240x240
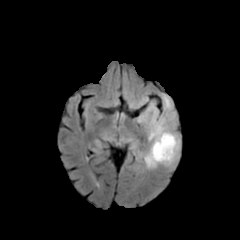
FLAIR MR.
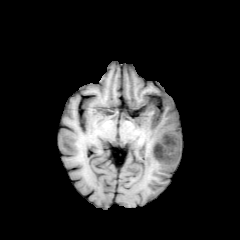
T1-weighted magnetic resonance of the same slice.
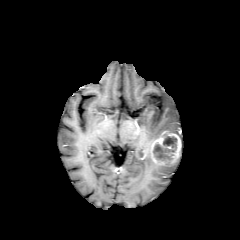
Post-contrast T1-weighted MR image of the same slice.
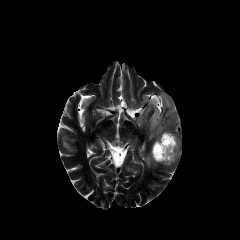
T2-weighted MR.
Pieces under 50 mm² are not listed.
{
  "necrotic_tumor_core": [
    "x1=153 y1=136 x2=176 y2=160"
  ],
  "peritumoral_edema": [
    "x1=131 y1=92 x2=180 y2=169"
  ],
  "enhancing_tumor": [
    "x1=151 y1=131 x2=181 y2=164"
  ]
}